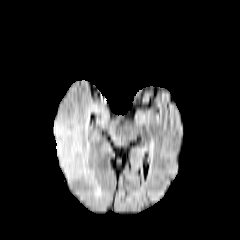
FLAIR magnetic resonance.
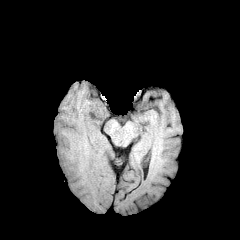
T1-weighted MR.
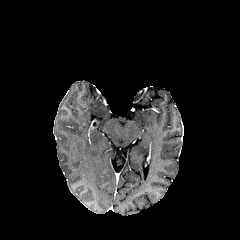
Same slice, post-contrast T1-weighted MRI.
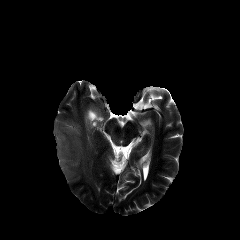
T2-weighted MR image of the same slice.
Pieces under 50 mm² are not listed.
peritumoral edema: bbox(54, 104, 105, 198)